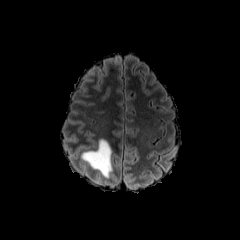
FLAIR MR.
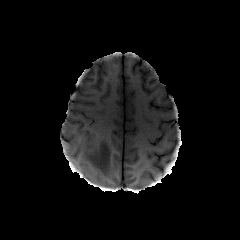
T1-weighted magnetic resonance.
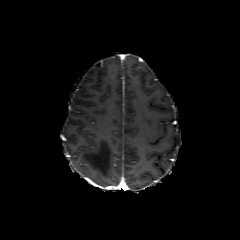
Same slice, post-contrast T1-weighted MR.
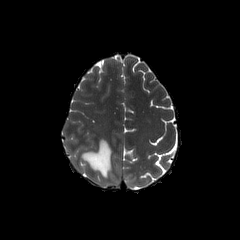
T2-weighted MRI of the same slice.
peritumoral_edema:
  - rect(81, 139, 112, 177)